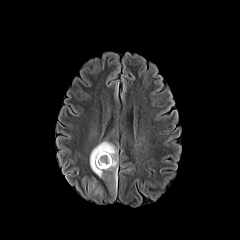
FLAIR magnetic resonance.
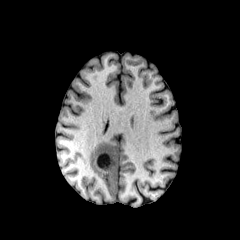
T1-weighted MR.
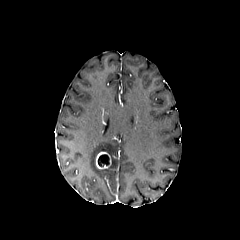
Post-contrast T1-weighted MRI.
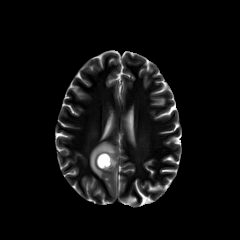
T2-weighted magnetic resonance of the same slice.
240x240 px, Axial slice
The necrotic tumor core is at (left=98, top=154, right=109, bottom=166). The enhancing tumor is at (left=96, top=152, right=111, bottom=169). The peritumoral edema is at (left=90, top=141, right=118, bottom=185).